FLAIR MR.
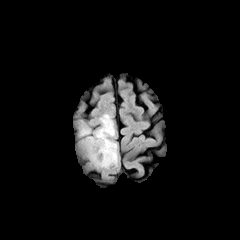
T1-weighted MR.
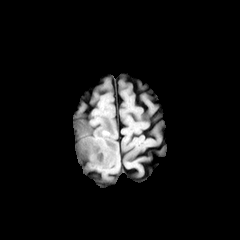
Post-contrast T1-weighted MR.
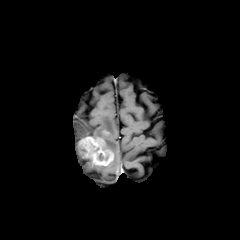
T2-weighted MRI.
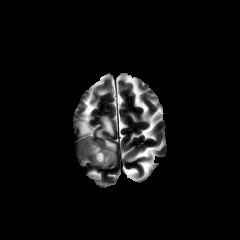
Brain. 240x240 px. Axial plane.
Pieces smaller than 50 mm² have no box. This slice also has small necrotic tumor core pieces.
enhancing tumor — [79, 136, 113, 165]
peritumoral edema — [79, 114, 117, 167]